FLAIR magnetic resonance.
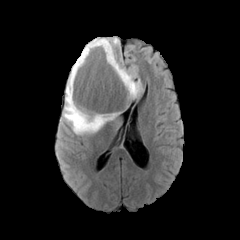
T1-weighted MRI.
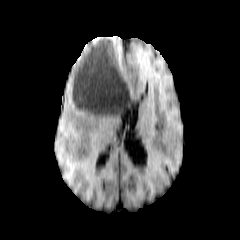
Post-contrast T1-weighted magnetic resonance.
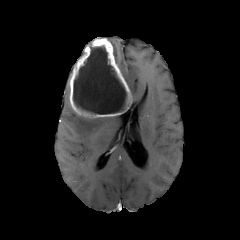
T2-weighted MR.
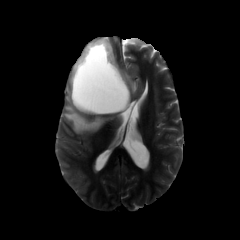
240x240
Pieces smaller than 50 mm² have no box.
The 2 largest peritumoral edema regions are bounded by [106, 37, 141, 98], [62, 82, 116, 134]. The necrotic tumor core appears at [73, 46, 126, 114]. The enhancing tumor appears at [68, 37, 132, 118].